Slice 101 of 155; Axial view; 240x240
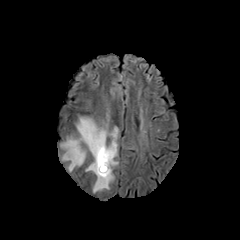
FLAIR MR.
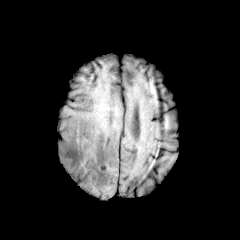
T1-weighted MR of the same slice.
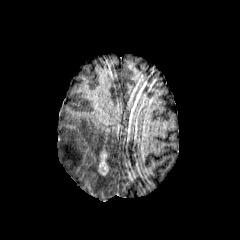
Post-contrast T1-weighted MR of the same slice.
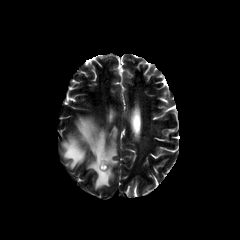
T2-weighted magnetic resonance.
Findings:
- peritumoral edema: <box>60,117,118,191</box>
- enhancing tumor: <box>98,150,108,175</box>